Brain | Slice 77/155
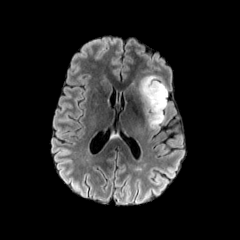
FLAIR MR.
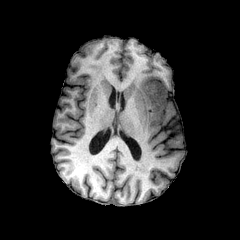
T1-weighted MR image.
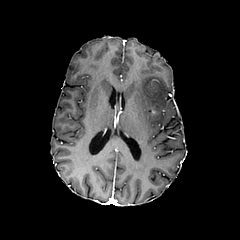
Post-contrast T1-weighted MRI.
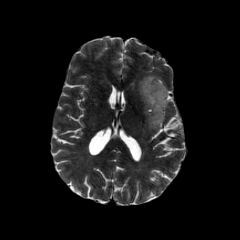
T2-weighted MR image of the same slice.
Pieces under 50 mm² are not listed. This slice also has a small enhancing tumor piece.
<segmentation>
  <peritumoral_edema>box=[138, 75, 167, 130]</peritumoral_edema>
</segmentation>